FLAIR magnetic resonance.
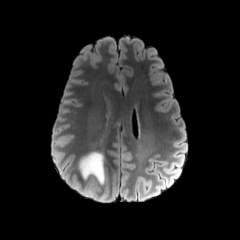
T1-weighted magnetic resonance.
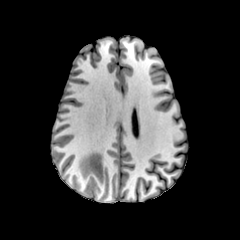
Post-contrast T1-weighted MR.
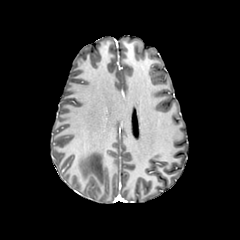
T2-weighted MR.
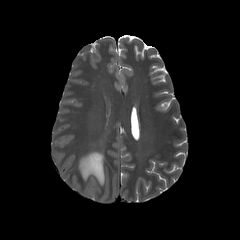
Axial slice | 240x240
Findings:
- peritumoral edema: bbox(79, 152, 104, 183)